Image size 240x240. Slice 135 of 155.
FLAIR magnetic resonance.
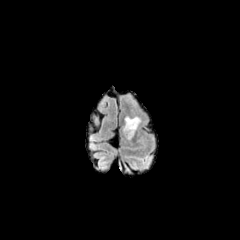
T1-weighted magnetic resonance.
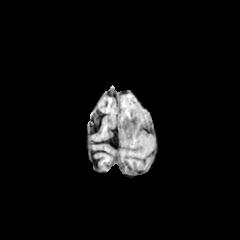
Post-contrast T1-weighted magnetic resonance.
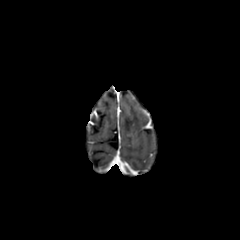
T2-weighted MR.
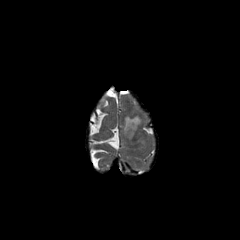
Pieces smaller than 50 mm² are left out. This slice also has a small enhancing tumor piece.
peritumoral edema: bounding box [x1=122, y1=113, x2=145, y2=141]